FLAIR magnetic resonance.
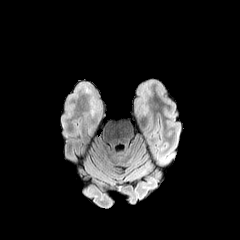
T1-weighted MR image.
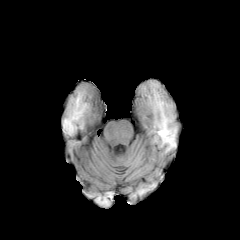
Post-contrast T1-weighted MRI.
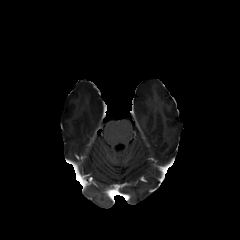
T2-weighted MRI.
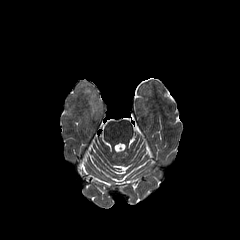
Head.
2 peritumoral edema regions are located at x1=135, y1=85, x2=147, y2=112; x1=79, y1=85, x2=101, y2=114.